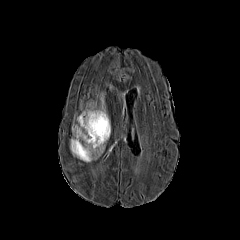
FLAIR magnetic resonance.
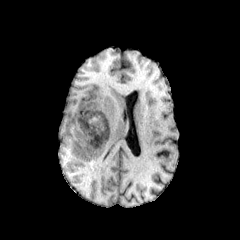
T1-weighted MR.
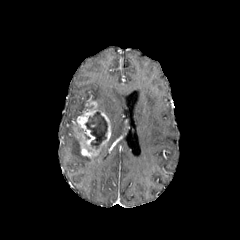
Same slice, post-contrast T1-weighted MR image.
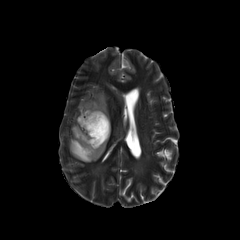
Same slice, T2-weighted magnetic resonance.
Axial plane
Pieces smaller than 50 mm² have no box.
{"necrotic_tumor_core": ["(x1=85, y1=111, x2=107, y2=148)"], "peritumoral_edema": ["(x1=70, y1=137, x2=105, y2=162)", "(x1=99, y1=93, x2=107, y2=115)"], "enhancing_tumor": ["(x1=73, y1=100, x2=110, y2=158)"]}